FLAIR MRI.
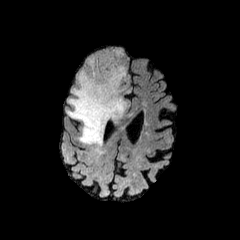
T1-weighted MR.
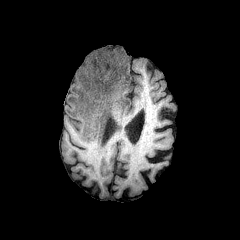
Post-contrast T1-weighted MR.
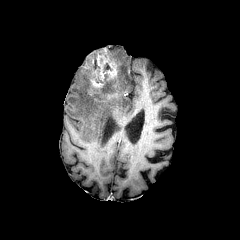
T2-weighted MR.
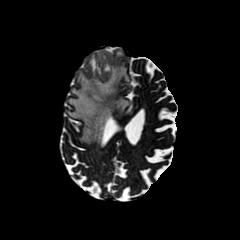
Head, Axial slice, 240x240
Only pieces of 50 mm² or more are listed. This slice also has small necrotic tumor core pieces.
Findings:
- enhancing tumor: 84 48 119 99
- peritumoral edema: 66 48 128 146